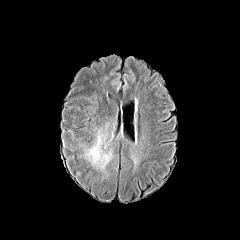
FLAIR magnetic resonance.
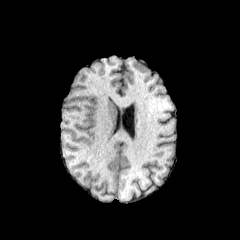
Same slice, T1-weighted magnetic resonance.
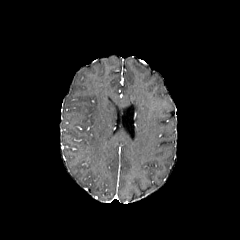
Same slice, post-contrast T1-weighted MR image.
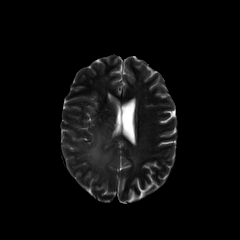
T2-weighted MRI.
Head.
peritumoral edema: bounding box bbox=[84, 123, 112, 170]